Head. Axial plane. Slice index 85.
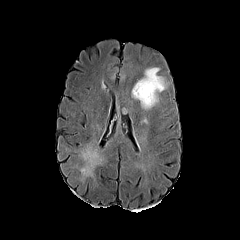
FLAIR MR.
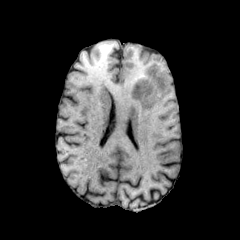
T1-weighted magnetic resonance.
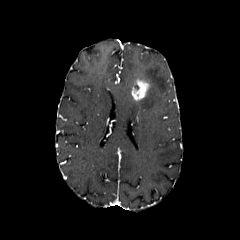
Post-contrast T1-weighted MRI.
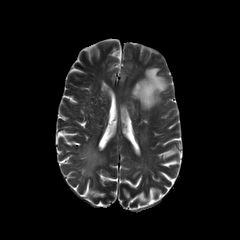
Same slice, T2-weighted MR.
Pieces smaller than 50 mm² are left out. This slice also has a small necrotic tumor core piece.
peritumoral edema: [140,67,167,109] | enhancing tumor: [131,79,150,100]